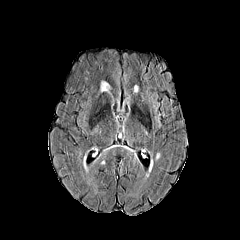
FLAIR MRI.
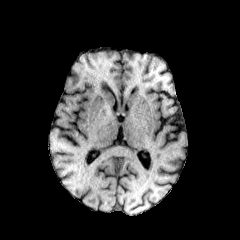
Same slice, T1-weighted magnetic resonance.
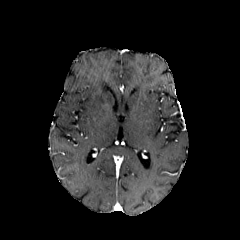
Same slice, post-contrast T1-weighted MRI.
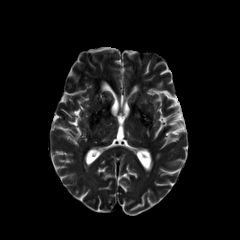
Same slice, T2-weighted MRI.
Head.
peritumoral edema: x1=101, y1=82, x2=109, y2=91